FLAIR MR image.
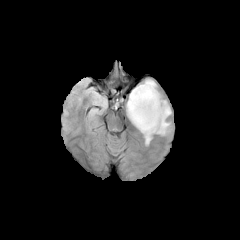
T1-weighted MRI.
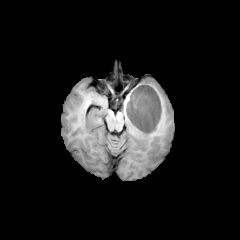
Post-contrast T1-weighted MRI.
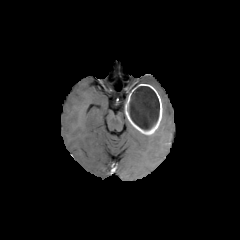
T2-weighted MR image.
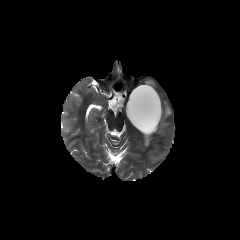
Brain, 240x240, Axial slice
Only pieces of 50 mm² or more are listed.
necrotic tumor core = (129,86,159,130)
peritumoral edema = (143,134,152,145), (144,79,155,88), (154,100,171,135)
enhancing tumor = (125,84,162,135)